FLAIR MR image.
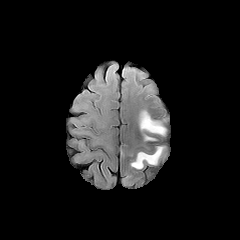
T1-weighted MRI.
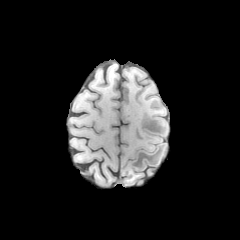
Post-contrast T1-weighted MR.
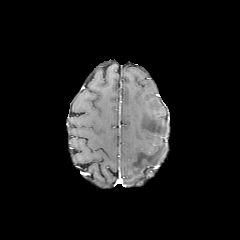
T2-weighted magnetic resonance.
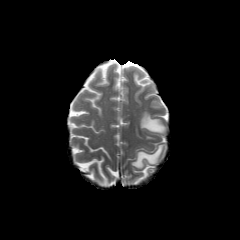
Axial view, 240x240, Head
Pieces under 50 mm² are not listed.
The 2 largest peritumoral edema regions appear at x1=131 y1=146 x2=167 y2=168, x1=140 y1=111 x2=165 y2=140.